FLAIR MRI.
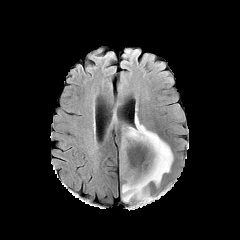
T1-weighted magnetic resonance.
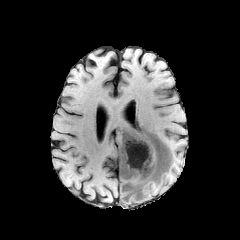
Post-contrast T1-weighted MR image.
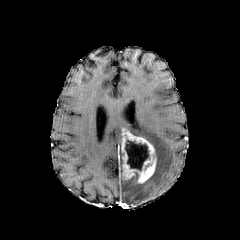
T2-weighted MR image.
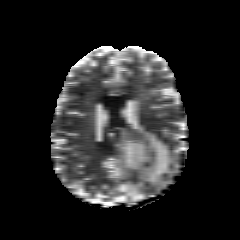
240x240, Axial view
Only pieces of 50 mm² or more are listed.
The 2 largest peritumoral edema regions appear at region(121, 117, 173, 202); region(120, 144, 122, 172). The enhancing tumor is bounded by region(120, 128, 156, 183). The necrotic tumor core is bounded by region(125, 140, 148, 170).